FLAIR magnetic resonance.
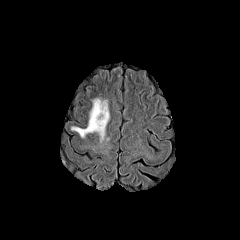
T1-weighted MR.
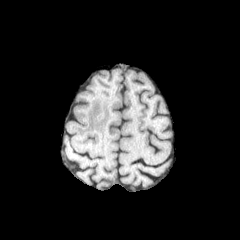
Post-contrast T1-weighted MRI.
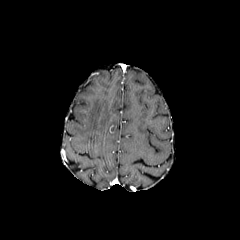
T2-weighted magnetic resonance.
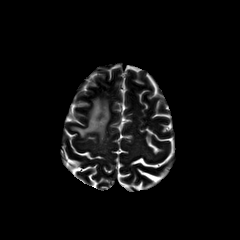
Head
Segmented structures:
- peritumoral edema: (71,98,109,141)